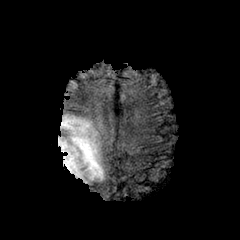
FLAIR magnetic resonance.
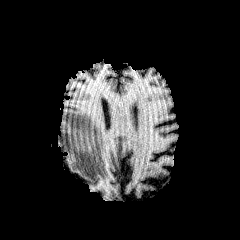
T1-weighted MR.
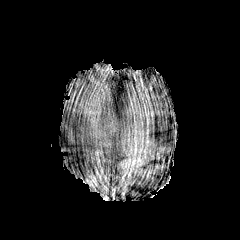
Same slice, post-contrast T1-weighted MRI.
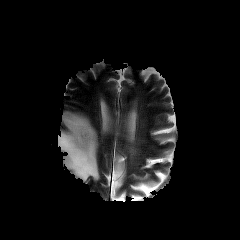
T2-weighted MRI.
240x240.
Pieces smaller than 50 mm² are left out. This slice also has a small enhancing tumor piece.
peritumoral edema at 58,112,104,183